FLAIR MR image.
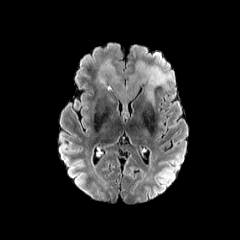
T1-weighted MR.
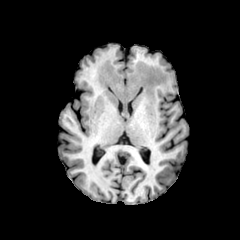
Post-contrast T1-weighted magnetic resonance.
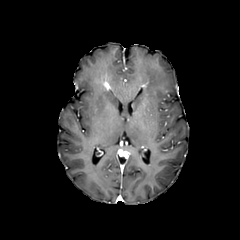
T2-weighted magnetic resonance.
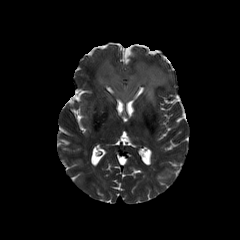
Head
enhancing_tumor:
  - <box>101,79,110,90</box>
peritumoral_edema:
  - <box>98,60,172,103</box>